FLAIR MRI.
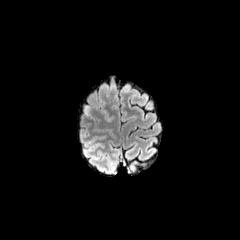
T1-weighted MRI.
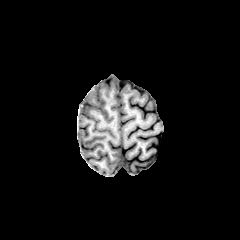
Post-contrast T1-weighted MRI.
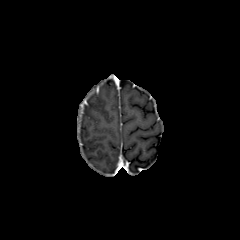
T2-weighted magnetic resonance.
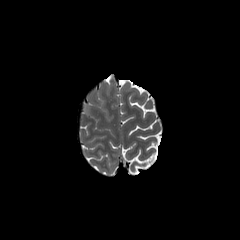
Axial view, Head, Image size 240x240
peritumoral edema: rect(83, 105, 89, 113)